FLAIR MR.
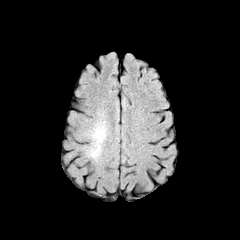
T1-weighted MR.
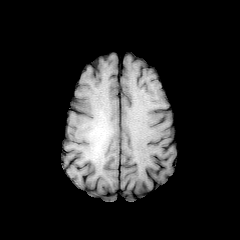
Post-contrast T1-weighted MR.
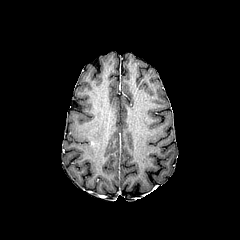
T2-weighted MRI.
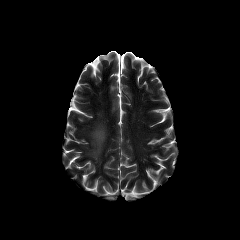
240x240; Head
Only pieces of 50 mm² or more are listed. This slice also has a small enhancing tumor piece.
The peritumoral edema is located at 81,105,110,165.